Axial view | Slice index 107
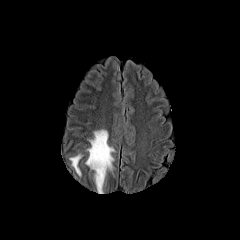
FLAIR MRI.
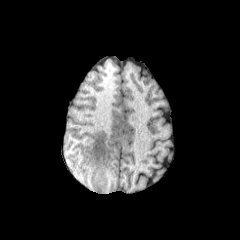
T1-weighted MRI.
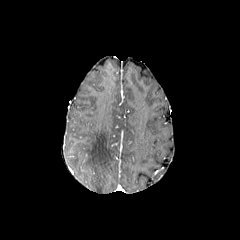
Post-contrast T1-weighted MRI of the same slice.
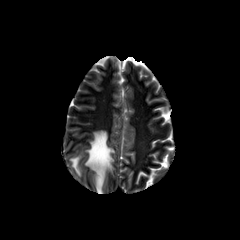
T2-weighted MR image.
2 peritumoral edema regions appear at box(70, 154, 81, 175); box(85, 129, 114, 193).